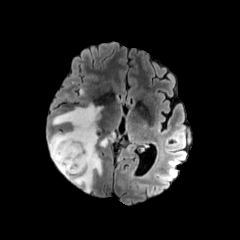
FLAIR MR.
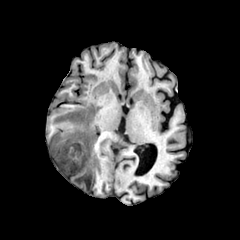
T1-weighted MRI.
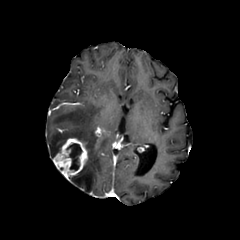
Post-contrast T1-weighted MRI.
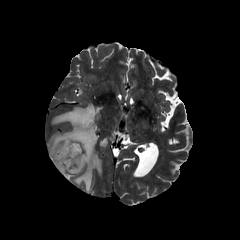
T2-weighted magnetic resonance.
Brain.
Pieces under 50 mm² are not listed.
enhancing tumor — (left=52, top=138, right=87, bottom=179)
necrotic tumor core — (left=67, top=143, right=81, bottom=170)
peritumoral edema — (left=49, top=103, right=101, bottom=192), (left=100, top=138, right=107, bottom=146)